Image covers 240 mm x 240 mm; Slice index 70
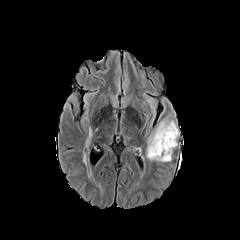
FLAIR MRI.
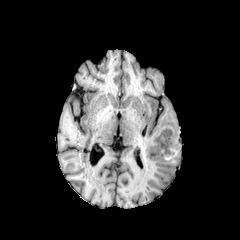
Same slice, T1-weighted magnetic resonance.
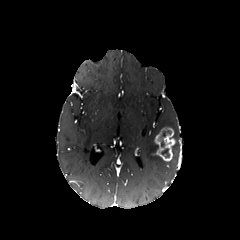
Same slice, post-contrast T1-weighted magnetic resonance.
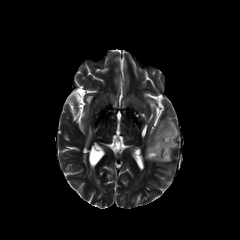
Same slice, T2-weighted MR.
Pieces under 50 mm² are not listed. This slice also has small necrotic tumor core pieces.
<segmentation>
  <enhancing_tumor>bbox(154, 127, 175, 161)</enhancing_tumor>
  <peritumoral_edema>bbox(146, 118, 178, 161)</peritumoral_edema>
</segmentation>